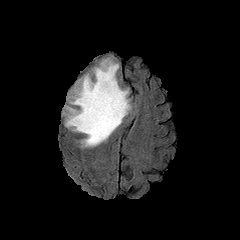
FLAIR MR.
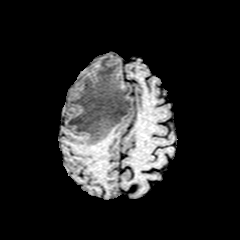
T1-weighted magnetic resonance.
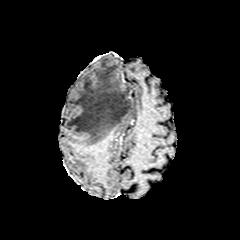
Post-contrast T1-weighted magnetic resonance.
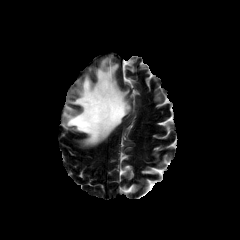
Same slice, T2-weighted magnetic resonance.
Head
peritumoral_edema:
  - l=64, t=57, r=131, b=146